FLAIR magnetic resonance.
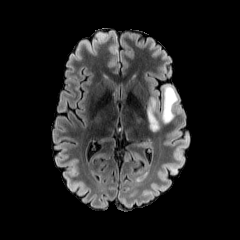
T1-weighted MR image.
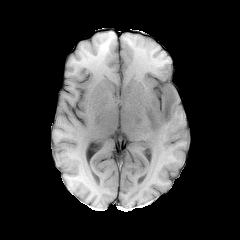
Post-contrast T1-weighted magnetic resonance.
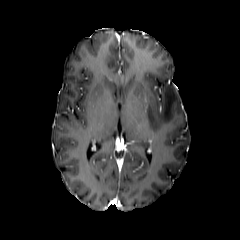
T2-weighted magnetic resonance.
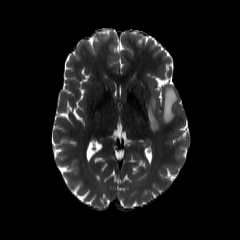
Axial slice
peritumoral edema — x1=147, y1=97, x2=159, y2=131; x1=161, y1=85, x2=178, y2=123